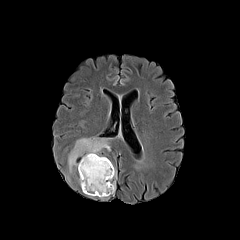
FLAIR MR.
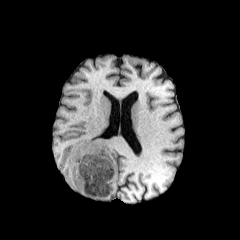
T1-weighted MR.
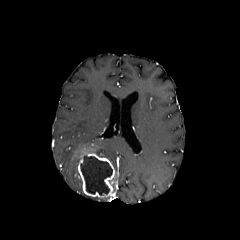
Same slice, post-contrast T1-weighted MR.
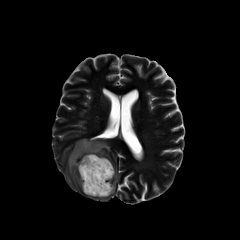
Same slice, T2-weighted magnetic resonance.
Axial view | Head | Image size 240x240
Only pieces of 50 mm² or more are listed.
{"peritumoral_edema": ["(left=68, top=138, right=110, bottom=172)"], "enhancing_tumor": ["(left=78, top=151, right=115, bottom=197)"], "necrotic_tumor_core": ["(left=80, top=156, right=112, bottom=195)"]}